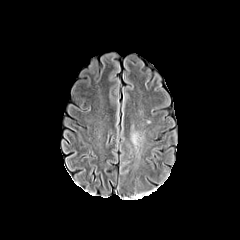
FLAIR MR.
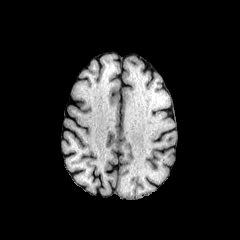
Same slice, T1-weighted MR.
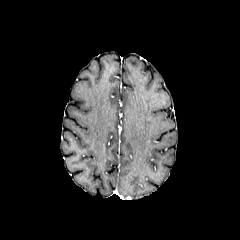
Post-contrast T1-weighted magnetic resonance.
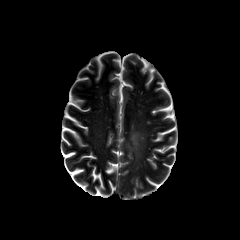
T2-weighted MR image of the same slice.
Brain.
{"peritumoral_edema": ["left=131, top=134, right=137, bottom=145"]}